Image width 240 mm, 1.00 mm slice spacing | Brain
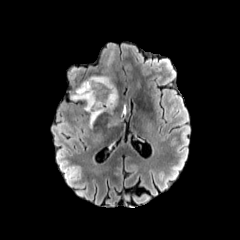
FLAIR MR.
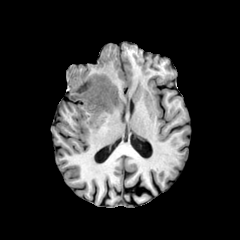
T1-weighted MRI.
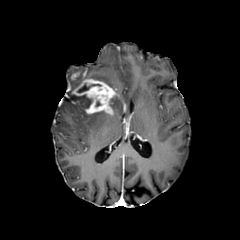
Same slice, post-contrast T1-weighted MRI.
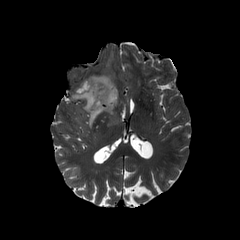
T2-weighted MR image.
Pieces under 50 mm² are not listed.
necrotic tumor core: [77,84,100,92]
enhancing tumor: [72,78,118,113]
peritumoral edema: [71,94,91,109], [89,75,115,88], [104,115,120,128], [89,111,104,128], [110,96,118,109]